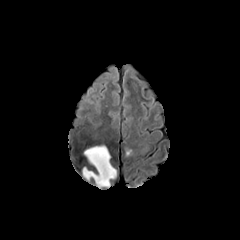
FLAIR MRI.
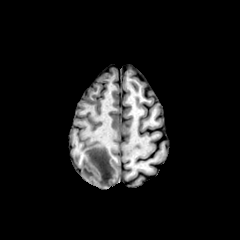
T1-weighted magnetic resonance.
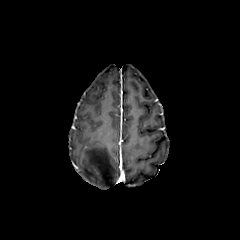
Post-contrast T1-weighted magnetic resonance of the same slice.
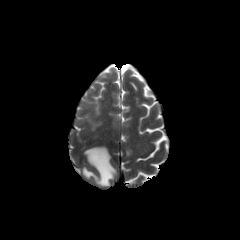
T2-weighted MRI.
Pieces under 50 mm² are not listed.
<segmentation>
  <peritumoral_edema>(x1=83, y1=146, x2=116, y2=187)</peritumoral_edema>
</segmentation>